FLAIR MR image.
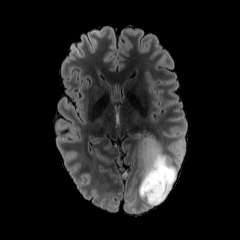
T1-weighted MR image.
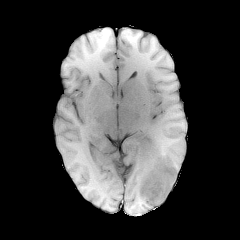
Post-contrast T1-weighted magnetic resonance.
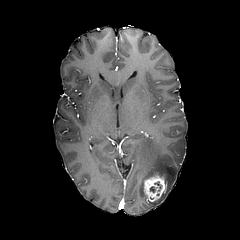
T2-weighted MR.
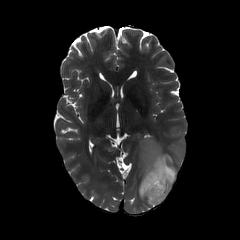
240x240 px
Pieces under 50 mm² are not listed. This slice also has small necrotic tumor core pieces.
Segmented structures:
* peritumoral edema: rect(138, 137, 176, 206)
* enhancing tumor: rect(144, 174, 166, 201)